FLAIR MR image.
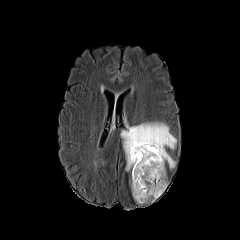
T1-weighted MR image.
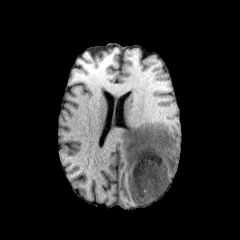
Post-contrast T1-weighted MRI.
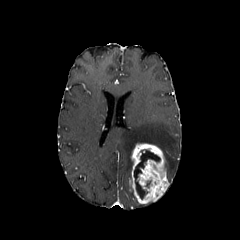
T2-weighted MRI.
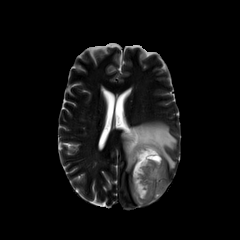
Brain
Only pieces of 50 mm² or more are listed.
The largest peritumoral edema region is bounded by x1=121, y1=121, x2=176, y2=171. The enhancing tumor is located at x1=129, y1=143, x2=168, y2=203. The largest necrotic tumor core region is located at x1=134, y1=150, x2=160, y2=199.